Image size 240x240
FLAIR MRI.
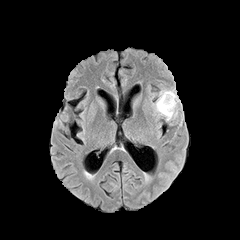
T1-weighted MRI.
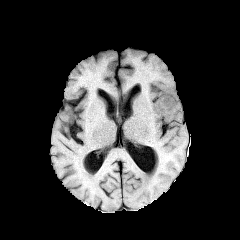
Post-contrast T1-weighted magnetic resonance.
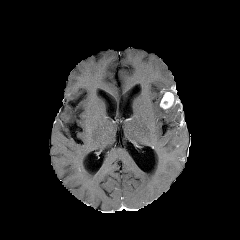
T2-weighted MR image.
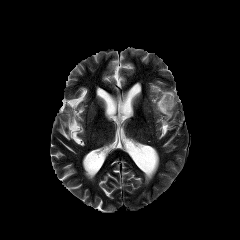
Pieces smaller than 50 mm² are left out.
The enhancing tumor appears at left=159, top=87, right=179, bottom=109. The largest peritumoral edema region is at left=155, top=93, right=176, bottom=120.